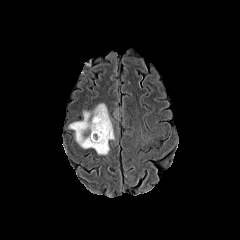
FLAIR MR image.
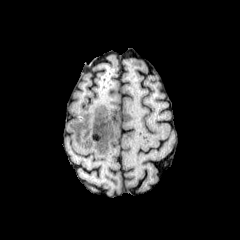
T1-weighted magnetic resonance.
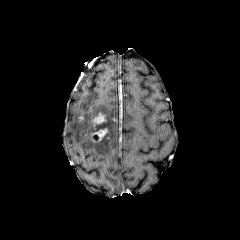
Post-contrast T1-weighted magnetic resonance.
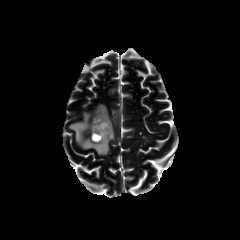
T2-weighted MR of the same slice.
Head
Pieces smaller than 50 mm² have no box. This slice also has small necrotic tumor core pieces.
2 enhancing tumor regions are located at box=[92, 113, 106, 126]; box=[91, 128, 108, 142]. The peritumoral edema lies within box=[69, 103, 114, 155].